FLAIR MR.
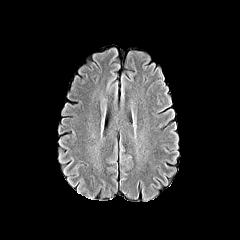
T1-weighted MR image.
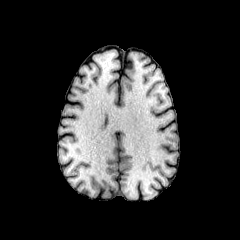
Post-contrast T1-weighted MR image.
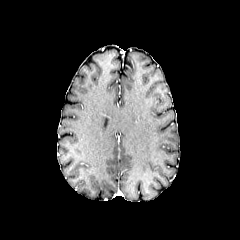
T2-weighted MRI.
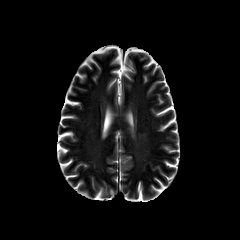
Axial slice, Brain
peritumoral edema: box=[105, 77, 118, 91]